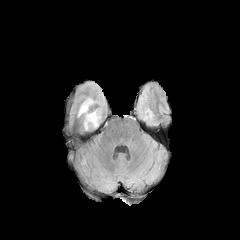
FLAIR MRI.
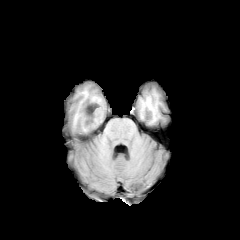
T1-weighted magnetic resonance of the same slice.
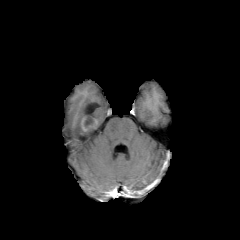
Post-contrast T1-weighted MRI.
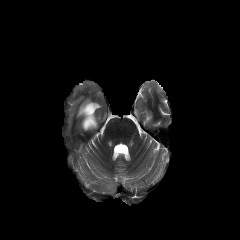
Same slice, T2-weighted MRI.
Axial plane | 240x240 | Head
Findings:
- necrotic tumor core: 84,119,93,126
- peritumoral edema: 78,98,100,127
- enhancing tumor: 80,115,97,131